FLAIR MR image.
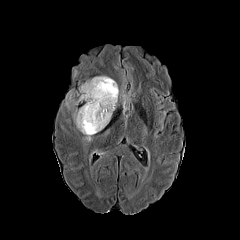
T1-weighted MR.
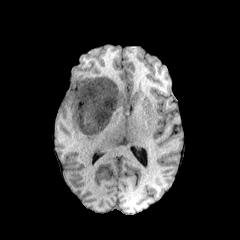
Post-contrast T1-weighted MR.
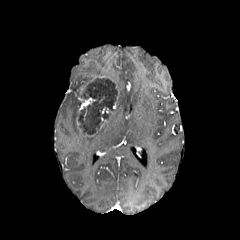
T2-weighted MRI.
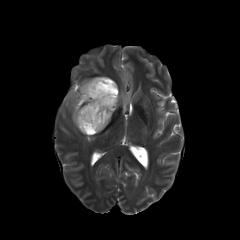
Image size 240x240. Head.
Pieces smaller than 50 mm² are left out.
necrotic tumor core — 79, 78, 117, 134
peritumoral edema — 120, 93, 130, 110; 73, 110, 86, 134; 85, 127, 101, 141; 65, 92, 80, 108
enhancing tumor — 80, 76, 111, 94; 79, 97, 95, 112